FLAIR MRI.
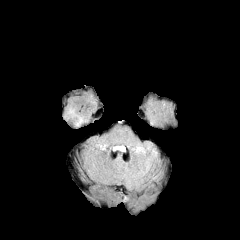
T1-weighted magnetic resonance.
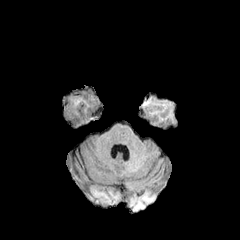
Post-contrast T1-weighted magnetic resonance.
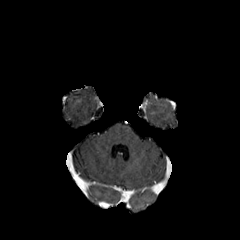
T2-weighted magnetic resonance.
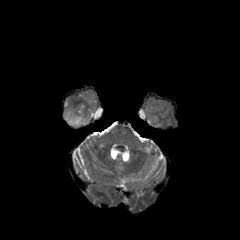
Axial plane
Annotated regions:
* peritumoral edema: {"x1": 62, "y1": 107, "x2": 82, "y2": 126}